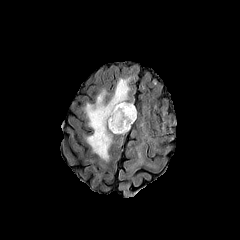
FLAIR magnetic resonance.
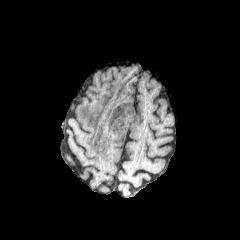
T1-weighted MRI.
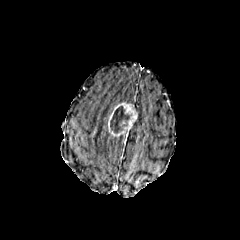
Post-contrast T1-weighted magnetic resonance of the same slice.
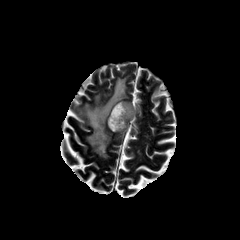
T2-weighted MR of the same slice.
Brain.
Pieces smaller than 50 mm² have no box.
{
  "peritumoral_edema": [
    "box(84, 78, 129, 161)"
  ],
  "enhancing_tumor": [
    "box(107, 102, 137, 136)"
  ],
  "necrotic_tumor_core": [
    "box(110, 106, 130, 133)"
  ]
}